Image width 240 mm.
FLAIR MRI.
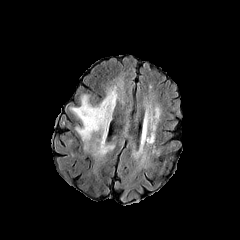
T1-weighted MR image.
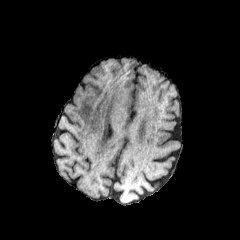
Post-contrast T1-weighted MR.
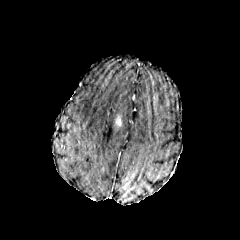
T2-weighted MRI.
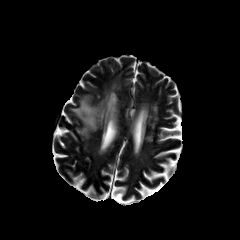
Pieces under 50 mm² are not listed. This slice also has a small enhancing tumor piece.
peritumoral_edema:
  - bbox=[71, 85, 121, 149]
  - bbox=[92, 144, 114, 155]